FLAIR MRI.
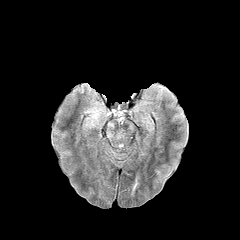
T1-weighted MRI.
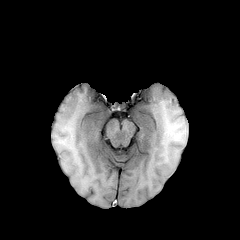
Post-contrast T1-weighted magnetic resonance.
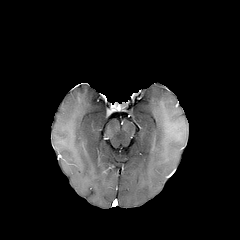
T2-weighted MR.
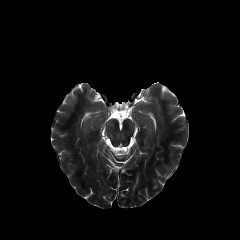
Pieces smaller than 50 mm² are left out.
peritumoral edema at [86,108,102,126]